240x240 px
FLAIR MR image.
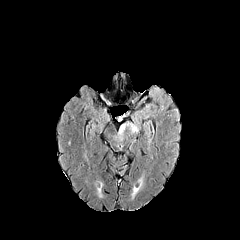
T1-weighted MR.
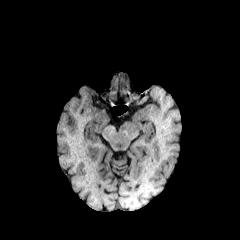
Post-contrast T1-weighted MRI.
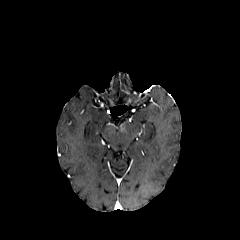
T2-weighted MRI.
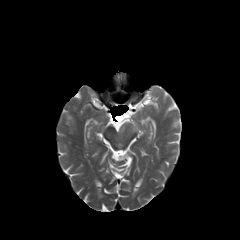
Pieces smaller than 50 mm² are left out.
Annotated regions:
* peritumoral edema: box=[118, 120, 139, 134]